Axial plane; Head
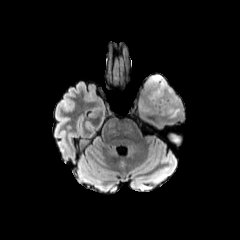
FLAIR magnetic resonance.
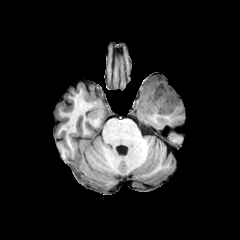
T1-weighted MRI of the same slice.
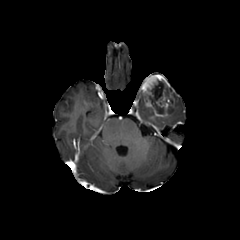
Post-contrast T1-weighted MRI of the same slice.
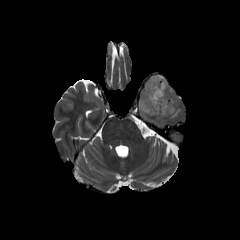
T2-weighted MR image.
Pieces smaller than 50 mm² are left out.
peritumoral edema: x1=168 y1=94 x2=180 y2=117, x1=138 y1=97 x2=153 y2=114
enhancing tumor: x1=140 y1=74 x2=174 y2=117
necrotic tumor core: x1=149 y1=80 x2=169 y2=114